FLAIR MRI.
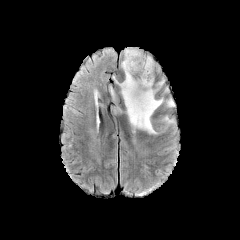
T1-weighted magnetic resonance.
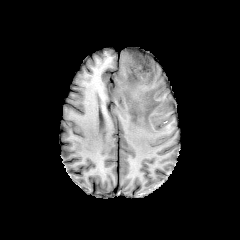
Post-contrast T1-weighted MR image.
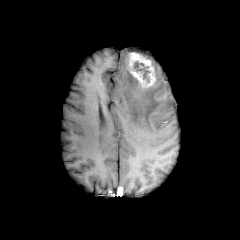
T2-weighted MRI.
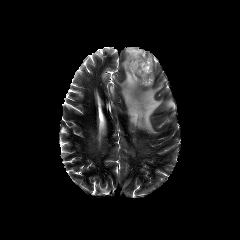
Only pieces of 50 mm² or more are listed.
The largest peritumoral edema region is bounded by box=[110, 47, 174, 133]. The enhancing tumor is at box=[126, 51, 155, 87]. The largest necrotic tumor core region appears at box=[134, 62, 149, 78].